FLAIR MR.
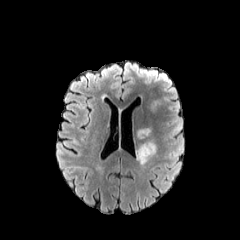
T1-weighted magnetic resonance.
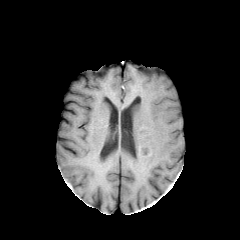
Post-contrast T1-weighted magnetic resonance.
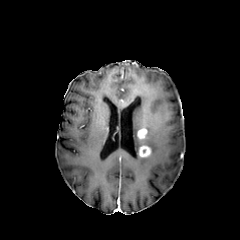
T2-weighted magnetic resonance.
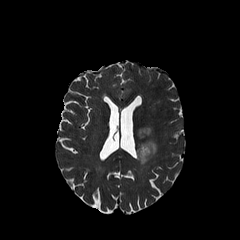
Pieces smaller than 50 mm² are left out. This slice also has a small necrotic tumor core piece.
The largest peritumoral edema region lies within {"x1": 136, "y1": 141, "x2": 156, "y2": 164}. 2 enhancing tumor regions are located at {"x1": 137, "y1": 128, "x2": 147, "y2": 138}, {"x1": 139, "y1": 145, "x2": 151, "y2": 157}.